FLAIR MR image.
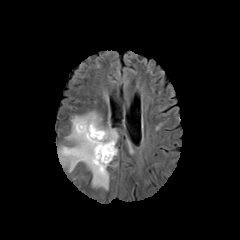
T1-weighted MR image.
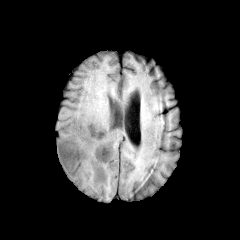
Post-contrast T1-weighted magnetic resonance.
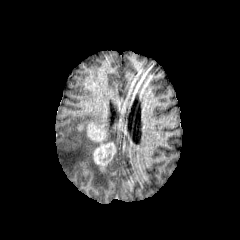
T2-weighted MR image.
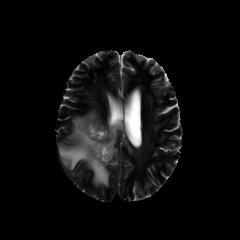
Head
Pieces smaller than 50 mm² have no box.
The largest enhancing tumor region is at [87,122,115,170]. The largest peritumoral edema region is bounded by [58,111,118,189].